Head; Axial plane
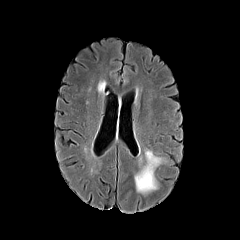
FLAIR MRI.
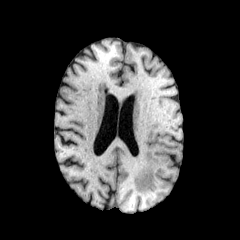
T1-weighted MR image of the same slice.
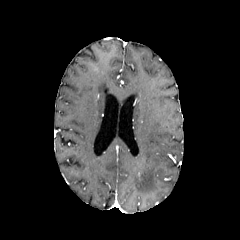
Same slice, post-contrast T1-weighted magnetic resonance.
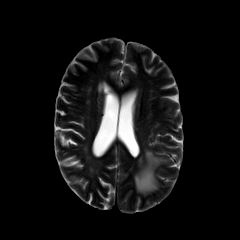
Same slice, T2-weighted magnetic resonance.
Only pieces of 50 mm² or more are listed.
peritumoral edema: bbox=[134, 149, 163, 194]